FLAIR magnetic resonance.
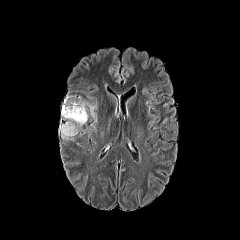
T1-weighted MR.
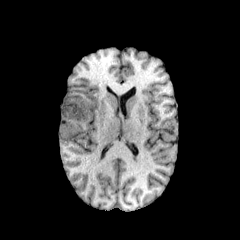
Post-contrast T1-weighted MR image.
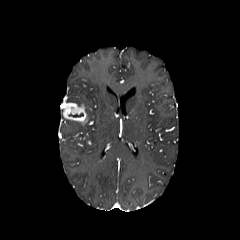
T2-weighted MRI.
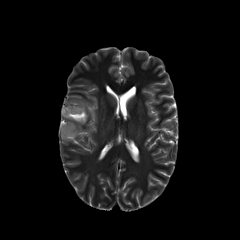
Axial slice.
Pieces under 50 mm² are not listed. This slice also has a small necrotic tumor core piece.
enhancing tumor: bounding box x1=61, y1=100, x2=87, y2=124
peritumoral edema: bounding box x1=77, y1=97, x2=94, y2=116; x1=60, y1=120, x2=82, y2=141